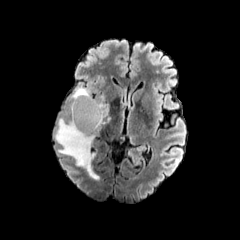
FLAIR magnetic resonance.
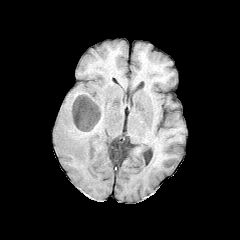
T1-weighted MR of the same slice.
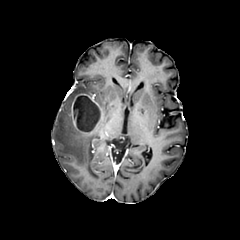
Post-contrast T1-weighted MR of the same slice.
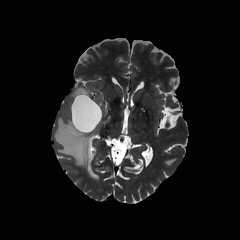
T2-weighted MRI.
Axial view
{
  "enhancing_tumor": [
    "<box>71,93,102,133</box>"
  ],
  "necrotic_tumor_core": [
    "<box>73,95,100,131</box>"
  ],
  "peritumoral_edema": [
    "<box>99,93,108,117</box>",
    "<box>55,86,111,179</box>"
  ]
}